Axial slice; 240x240 px; Brain
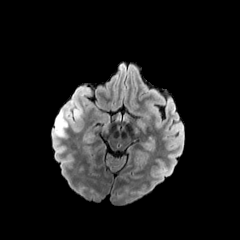
FLAIR MR image.
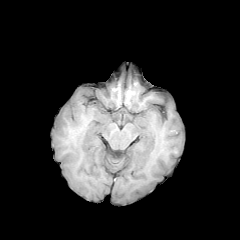
T1-weighted MR.
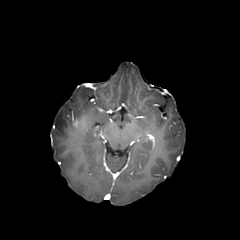
Post-contrast T1-weighted magnetic resonance.
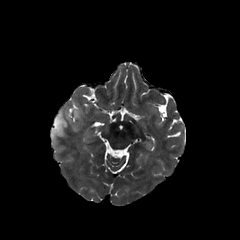
T2-weighted MR image.
{"enhancing_tumor": ["x1=72, y1=117, x2=84, y2=131"], "peritumoral_edema": ["x1=55, y1=108, x2=81, y2=134"]}